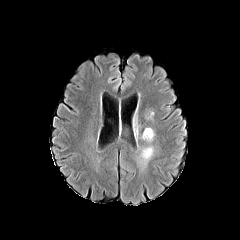
FLAIR MR image.
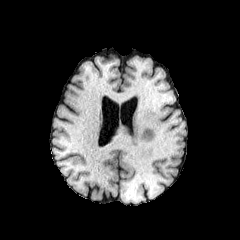
T1-weighted MR.
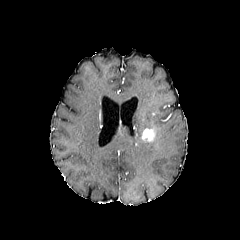
Post-contrast T1-weighted MR image.
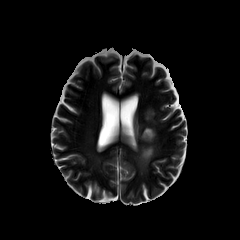
T2-weighted MR of the same slice.
Axial slice
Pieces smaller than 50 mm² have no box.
enhancing_tumor:
  - [141,128,155,141]
peritumoral_edema:
  - [137,145,155,168]
  - [133,115,138,140]